FLAIR MRI.
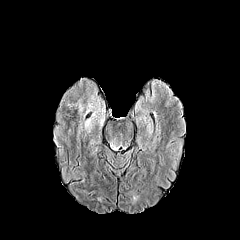
T1-weighted MR image.
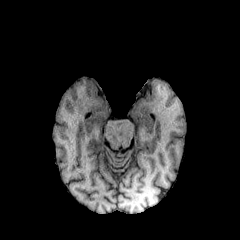
Post-contrast T1-weighted MR.
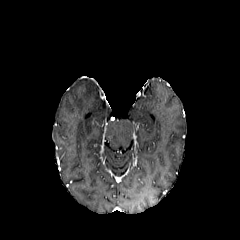
T2-weighted MR.
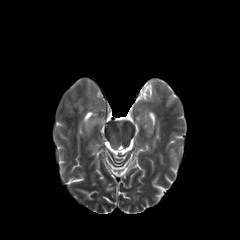
Head. Axial slice.
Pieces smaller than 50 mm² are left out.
peritumoral_edema:
  - <bbox>89, 101, 105, 116</bbox>
  - <bbox>84, 118, 92, 133</bbox>